Slice index 75
FLAIR MRI.
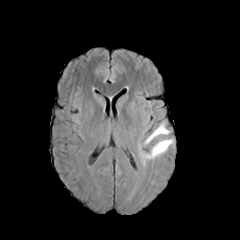
T1-weighted magnetic resonance.
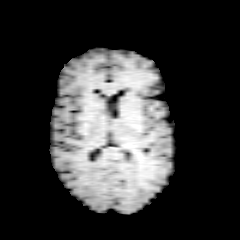
Post-contrast T1-weighted magnetic resonance.
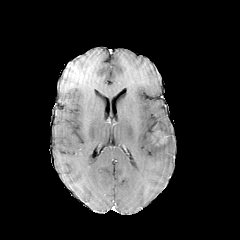
T2-weighted MRI.
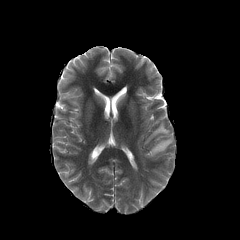
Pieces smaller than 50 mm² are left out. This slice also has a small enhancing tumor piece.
Findings:
- peritumoral edema: x1=144 y1=122 x2=169 y2=144, x1=140 y1=137 x2=172 y2=162